Brain | Slice 66 of 155
FLAIR MR.
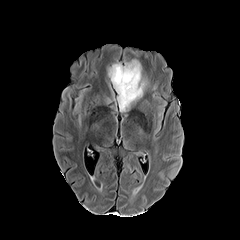
T1-weighted MR image.
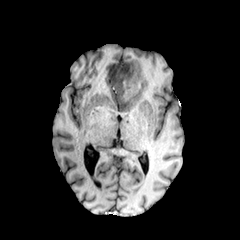
Post-contrast T1-weighted magnetic resonance.
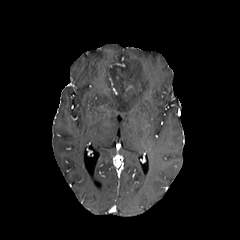
T2-weighted magnetic resonance.
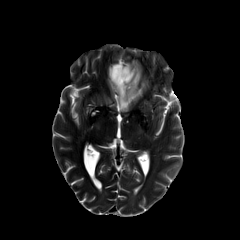
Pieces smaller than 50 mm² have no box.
{"peritumoral_edema": ["bbox(107, 59, 146, 112)"], "necrotic_tumor_core": ["bbox(113, 66, 123, 75)"], "enhancing_tumor": ["bbox(123, 79, 133, 94)"]}